FLAIR MR.
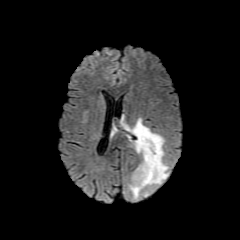
T1-weighted magnetic resonance.
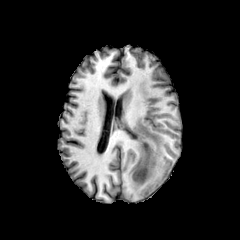
Post-contrast T1-weighted magnetic resonance.
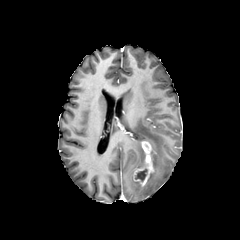
T2-weighted MRI.
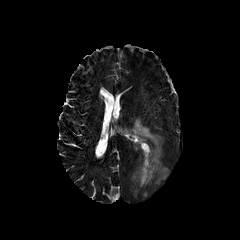
Brain. 240x240.
Segmented structures:
* enhancing tumor: x1=133 y1=141 x2=154 y2=186
* necrotic tumor core: x1=135 y1=169 x2=147 y2=181
* peritumoral edema: x1=125 y1=118 x2=168 y2=199